Image size 240x240; Slice 67/155
FLAIR MRI.
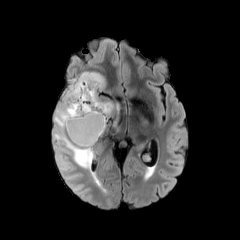
T1-weighted magnetic resonance.
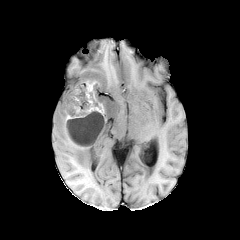
Post-contrast T1-weighted MR image.
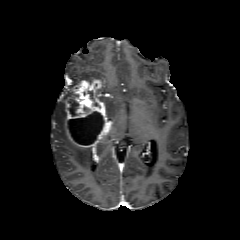
T2-weighted MR image.
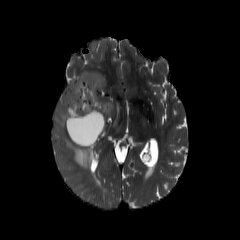
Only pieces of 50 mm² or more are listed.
peritumoral edema: bbox(53, 84, 92, 169); bbox(103, 101, 113, 117); bbox(71, 72, 104, 85)
enhancing tumor: bbox(66, 79, 109, 148)
necrotic tumor core: bbox(68, 111, 104, 145); bbox(68, 92, 78, 116)